FLAIR magnetic resonance.
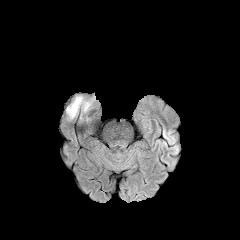
T1-weighted magnetic resonance.
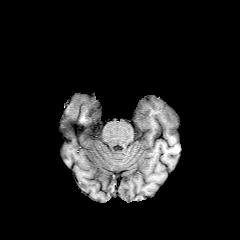
Post-contrast T1-weighted magnetic resonance.
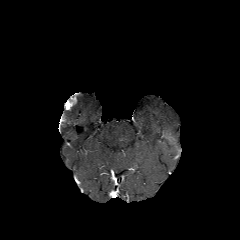
T2-weighted MR image.
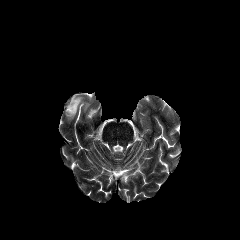
Annotated regions:
- peritumoral edema: (66, 95, 95, 119)
- enhancing tumor: (65, 94, 77, 110)